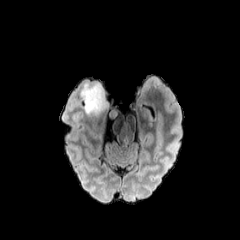
FLAIR MRI.
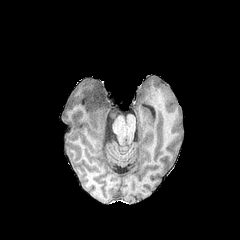
T1-weighted magnetic resonance of the same slice.
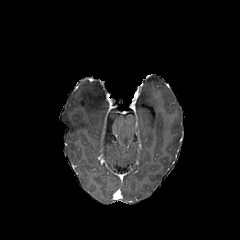
Post-contrast T1-weighted magnetic resonance of the same slice.
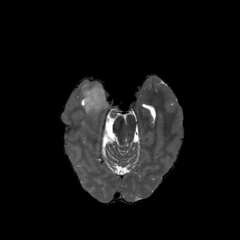
T2-weighted MR image of the same slice.
Brain
peritumoral_edema:
  - 81 80 110 116
  - 92 117 98 128
  - 109 110 117 119